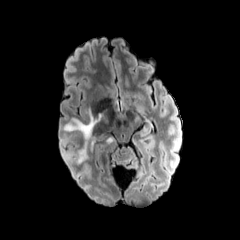
FLAIR magnetic resonance.
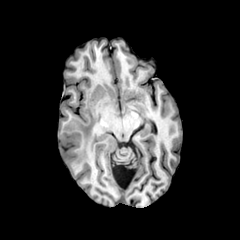
Same slice, T1-weighted magnetic resonance.
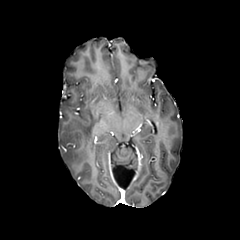
Post-contrast T1-weighted MRI.
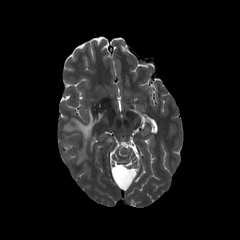
T2-weighted MRI.
Brain, 240x240, Axial slice
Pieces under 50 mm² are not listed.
peritumoral_edema:
  - 64 109 105 141
  - 78 149 86 162